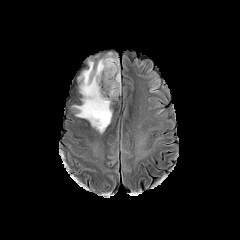
FLAIR MR image.
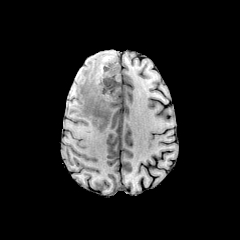
T1-weighted MR.
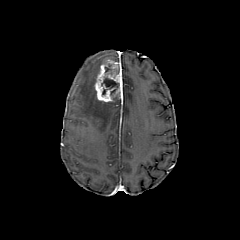
Same slice, post-contrast T1-weighted magnetic resonance.
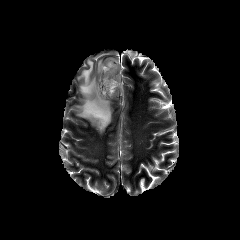
T2-weighted magnetic resonance.
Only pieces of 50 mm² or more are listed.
necrotic_tumor_core:
  - bbox(101, 78, 118, 94)
peritumoral_edema:
  - bbox(73, 52, 118, 133)
enhancing_tumor:
  - bbox(94, 59, 122, 101)